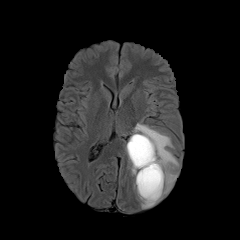
FLAIR MR.
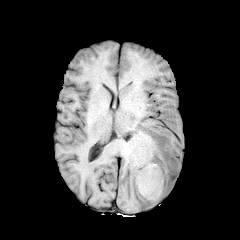
Same slice, T1-weighted magnetic resonance.
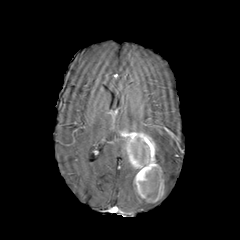
Same slice, post-contrast T1-weighted MR.
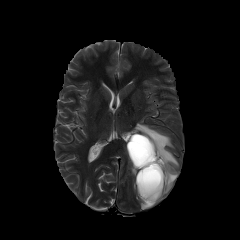
Same slice, T2-weighted magnetic resonance.
Head.
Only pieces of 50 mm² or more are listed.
necrotic_tumor_core:
  - 139:169:159:198
  - 130:138:150:165
enhancing_tumor:
  - 126:132:164:202
peritumoral_edema:
  - 128:158:138:180
  - 132:122:179:208